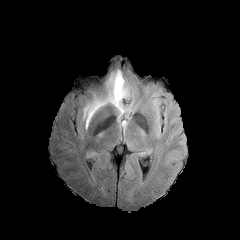
FLAIR MRI.
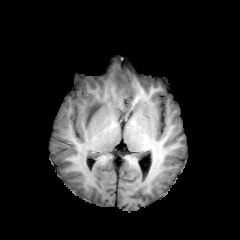
T1-weighted MR image.
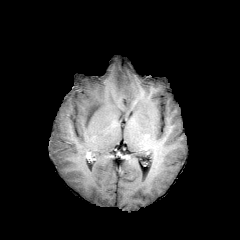
Post-contrast T1-weighted magnetic resonance.
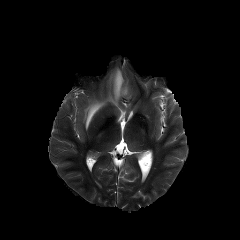
T2-weighted magnetic resonance of the same slice.
* peritumoral edema: bbox=[83, 69, 129, 128]